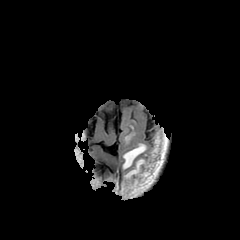
FLAIR MR.
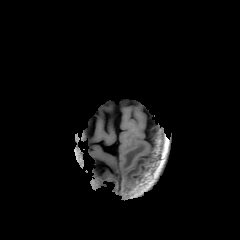
Same slice, T1-weighted magnetic resonance.
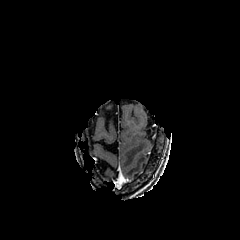
Post-contrast T1-weighted MR.
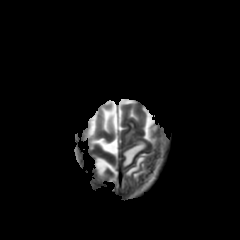
T2-weighted MR.
Head, Axial view
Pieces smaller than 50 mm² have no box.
The 2 largest peritumoral edema regions appear at {"x1": 123, "y1": 143, "x2": 146, "y2": 169}, {"x1": 125, "y1": 158, "x2": 145, "y2": 178}.